FLAIR MRI.
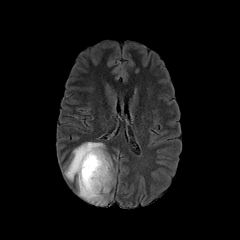
T1-weighted MR.
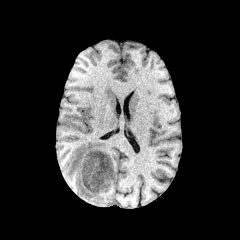
Post-contrast T1-weighted MR.
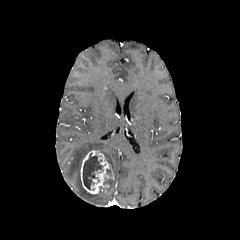
T2-weighted MR image.
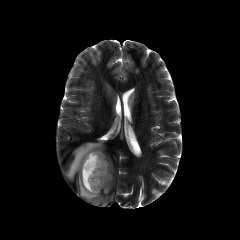
Head.
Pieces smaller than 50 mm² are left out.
The peritumoral edema is located at <bbox>64, 142, 114, 205</bbox>. The enhancing tumor appears at <bbox>80, 150, 112, 194</bbox>. The largest necrotic tumor core region lies within <bbox>83, 153, 102, 189</bbox>.